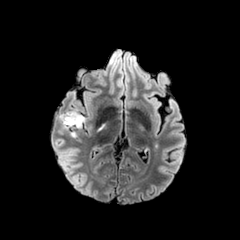
FLAIR MRI.
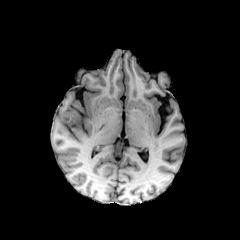
T1-weighted magnetic resonance.
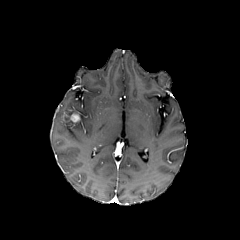
Same slice, post-contrast T1-weighted MR.
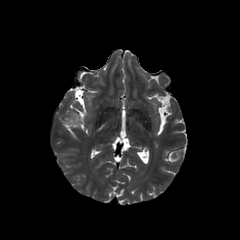
T2-weighted magnetic resonance.
Head; Axial view
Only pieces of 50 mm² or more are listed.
enhancing tumor = [x1=70, y1=113, x2=80, y2=122]
peritumoral edema = [x1=61, y1=112, x2=84, y2=128]